FLAIR magnetic resonance.
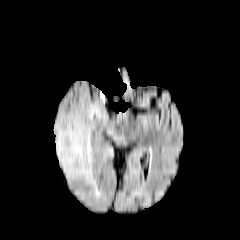
T1-weighted MR.
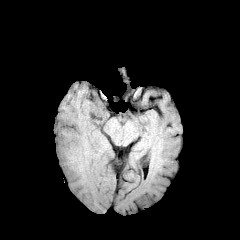
Post-contrast T1-weighted MR.
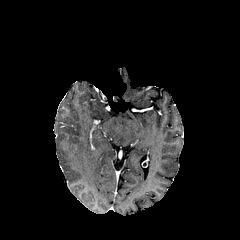
T2-weighted MR image.
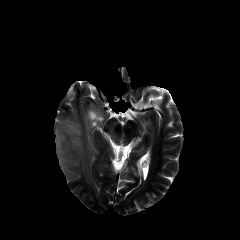
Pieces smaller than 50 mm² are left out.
peritumoral edema at left=55, top=104, right=105, bottom=199; left=108, top=128, right=116, bottom=138